Slice 131/155; Brain
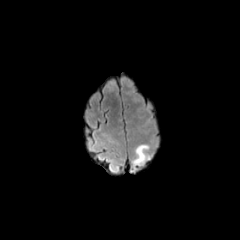
FLAIR MRI.
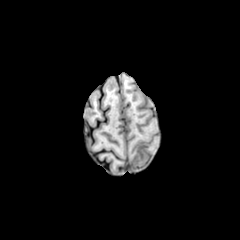
T1-weighted MR of the same slice.
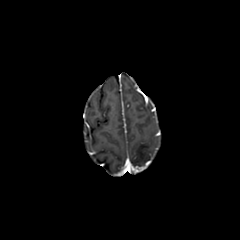
Same slice, post-contrast T1-weighted MR image.
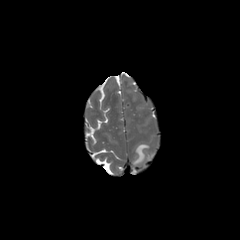
T2-weighted MRI of the same slice.
{
  "peritumoral_edema": [
    "bbox=[132, 144, 150, 165]"
  ]
}